Head.
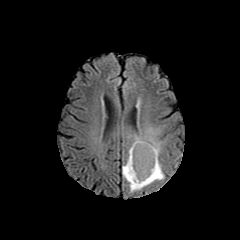
FLAIR MR.
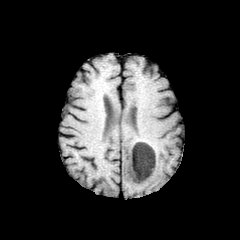
T1-weighted MRI.
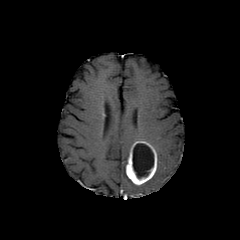
Post-contrast T1-weighted magnetic resonance.
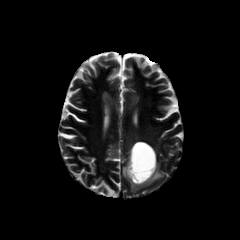
T2-weighted magnetic resonance.
peritumoral edema: <bbox>122, 127, 164, 192</bbox> | enhancing tumor: <bbox>126, 141, 157, 185</bbox> | necrotic tumor core: <bbox>132, 143, 153, 178</bbox>